Axial slice, Image width 240 mm, Brain, Slice 102/155
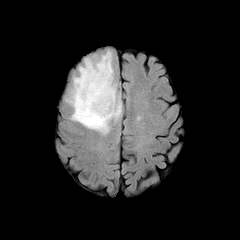
FLAIR MRI.
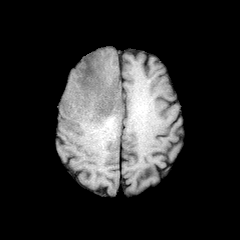
T1-weighted MRI.
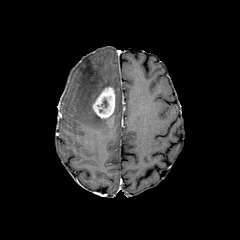
Post-contrast T1-weighted MR image of the same slice.
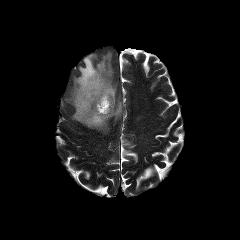
T2-weighted MR image.
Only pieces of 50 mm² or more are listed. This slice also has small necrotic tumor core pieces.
enhancing_tumor:
  - (left=92, top=86, right=115, bottom=118)
peritumoral_edema:
  - (left=67, top=51, right=121, bottom=133)